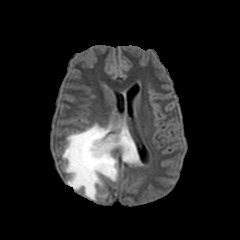
FLAIR MRI.
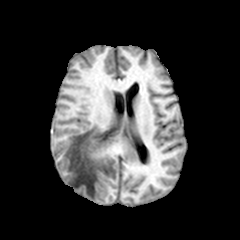
T1-weighted MR of the same slice.
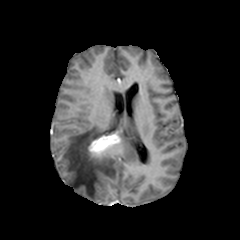
Same slice, post-contrast T1-weighted MR image.
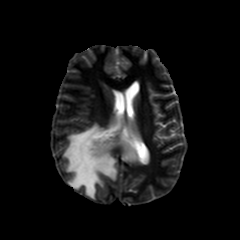
T2-weighted MR image of the same slice.
240x240
The enhancing tumor lies within left=88, top=132, right=120, bottom=155. The peritumoral edema is bounded by left=62, top=123, right=141, bottom=200.